Axial slice. Slice index 112.
FLAIR MR.
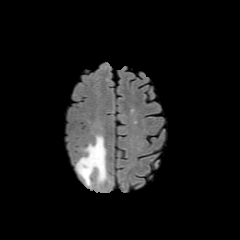
T1-weighted MR.
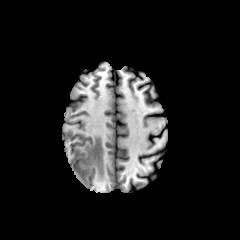
Post-contrast T1-weighted MRI.
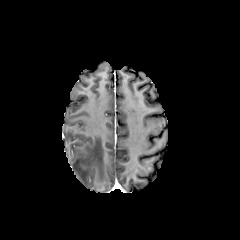
T2-weighted MRI.
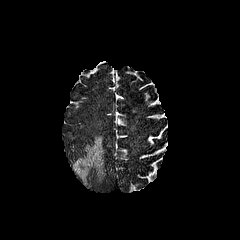
<segmentation>
  <peritumoral_edema>(76, 135, 106, 186)</peritumoral_edema>
</segmentation>